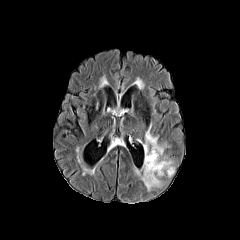
FLAIR MR image.
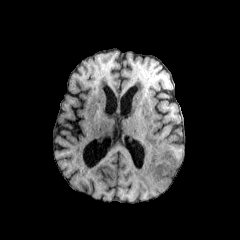
T1-weighted MR image.
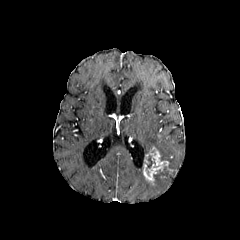
Post-contrast T1-weighted magnetic resonance of the same slice.
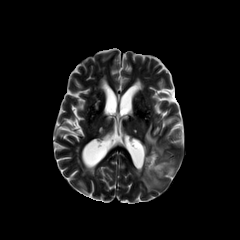
T2-weighted MRI.
Axial slice
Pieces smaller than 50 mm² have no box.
necrotic tumor core: l=146, t=155, r=154, b=169 | peritumoral edema: l=143, t=125, r=166, b=156; l=164, t=160, r=174, b=176; l=135, t=168, r=163, b=191 | enhancing tumor: l=143, t=147, r=168, b=183